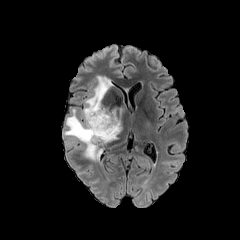
FLAIR MRI.
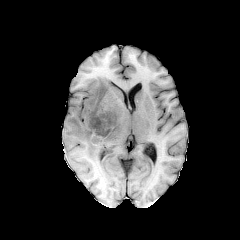
T1-weighted MR image.
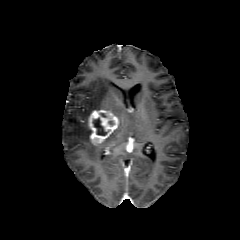
Same slice, post-contrast T1-weighted MRI.
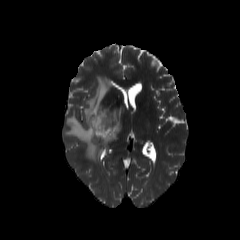
T2-weighted magnetic resonance of the same slice.
240x240 px | Brain | Axial plane
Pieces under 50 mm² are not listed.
Annotated regions:
- enhancing tumor: (88,109,119,145)
- necrotic tumor core: (93,118,106,135)
- peritumoral edema: (64,75,121,161)